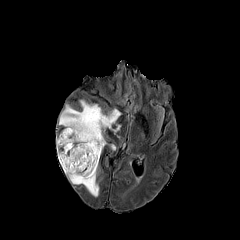
FLAIR MRI.
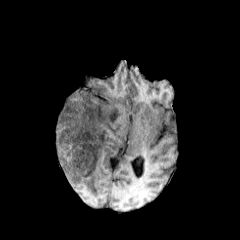
T1-weighted MRI.
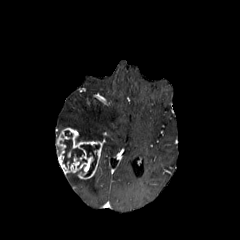
Post-contrast T1-weighted MR image.
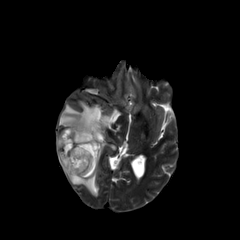
Same slice, T2-weighted MR.
Axial view. Brain.
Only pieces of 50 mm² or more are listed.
The enhancing tumor is located at 56:127:102:179. The 2 largest peritumoral edema regions are located at 67:168:99:196, 58:99:122:141. The 2 largest necrotic tumor core regions are bounded by 63:130:84:166, 80:144:99:176.